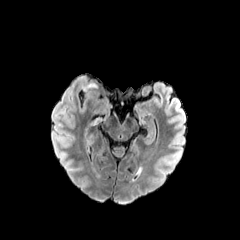
FLAIR MR.
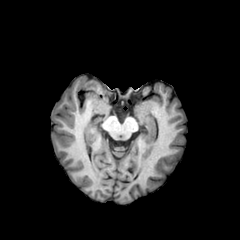
T1-weighted MR.
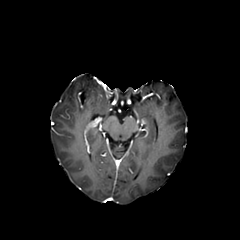
Post-contrast T1-weighted MR image.
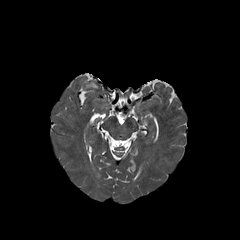
T2-weighted magnetic resonance.
Image size 240x240 | Brain
peritumoral edema: <bbox>86, 83, 97, 88</bbox>